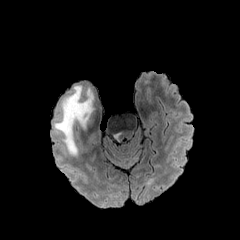
FLAIR MR image.
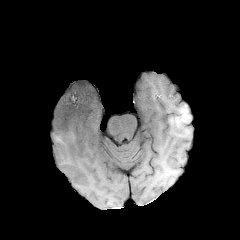
T1-weighted MR.
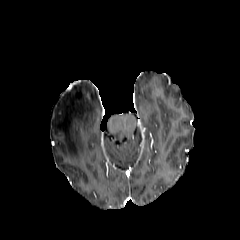
Post-contrast T1-weighted MRI of the same slice.
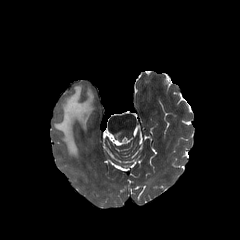
Same slice, T2-weighted MR image.
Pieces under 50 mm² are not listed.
peritumoral_edema:
  - [x1=53, y1=85, x2=93, y2=156]